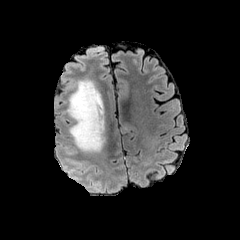
FLAIR MR image.
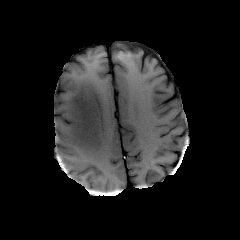
T1-weighted MR of the same slice.
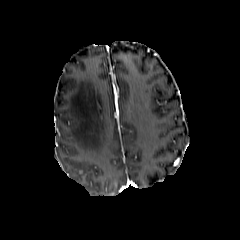
Same slice, post-contrast T1-weighted MR image.
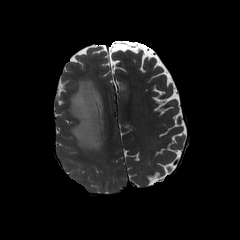
T2-weighted MR image.
Axial view. Head.
peritumoral edema: bounding box x1=68 y1=79 x2=104 y2=152